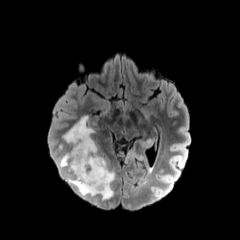
FLAIR MR.
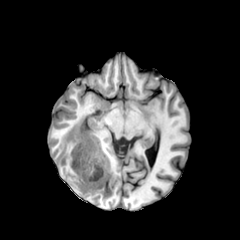
T1-weighted MRI.
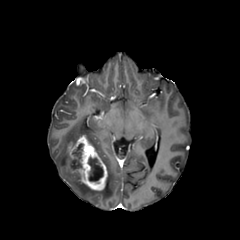
Post-contrast T1-weighted MRI.
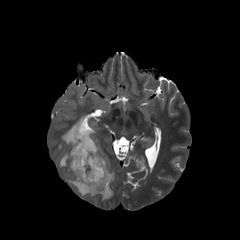
T2-weighted magnetic resonance.
Image size 240x240.
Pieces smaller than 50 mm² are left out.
<segmentation>
  <necrotic_tumor_core>left=73, top=143, right=83, bottom=159; left=88, top=157, right=103, bottom=181</necrotic_tumor_core>
  <peritumoral_edema>left=59, top=115, right=115, bottom=200; left=58, top=152, right=70, bottom=167</peritumoral_edema>
  <enhancing_tumor>left=69, top=135, right=107, bottom=190</enhancing_tumor>
</segmentation>